Axial view, Image size 240x240
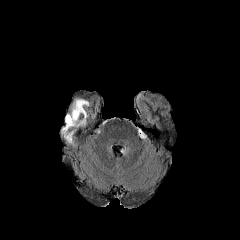
FLAIR magnetic resonance.
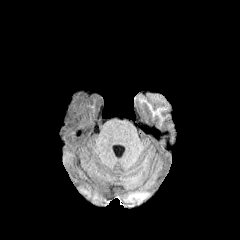
T1-weighted MR image.
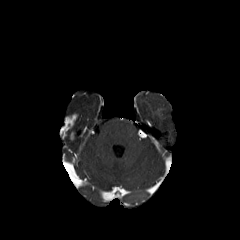
Post-contrast T1-weighted MR image.
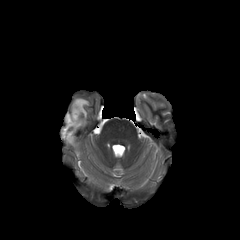
Same slice, T2-weighted magnetic resonance.
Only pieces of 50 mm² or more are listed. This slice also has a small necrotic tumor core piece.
peritumoral_edema:
  - [71, 98, 89, 131]
enhancing_tumor:
  - [60, 113, 77, 137]